Head. Axial plane.
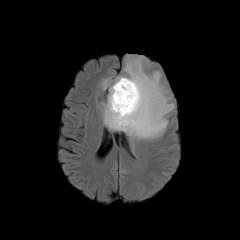
FLAIR MR image.
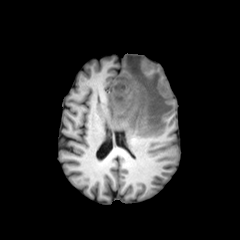
T1-weighted MR image of the same slice.
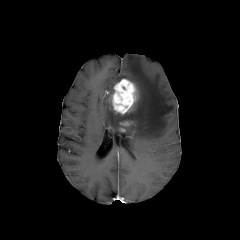
Post-contrast T1-weighted MRI.
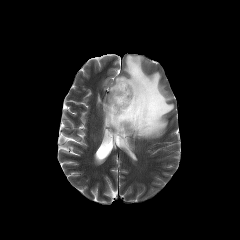
T2-weighted magnetic resonance.
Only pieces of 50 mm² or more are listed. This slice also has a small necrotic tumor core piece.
enhancing tumor — (x1=109, y1=78, x2=138, y2=114)
peritumoral edema — (x1=102, y1=55, x2=174, y2=139)